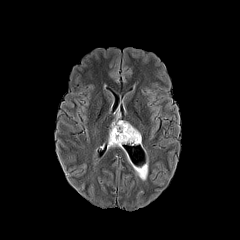
FLAIR magnetic resonance.
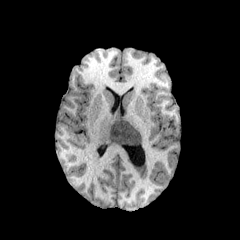
Same slice, T1-weighted MRI.
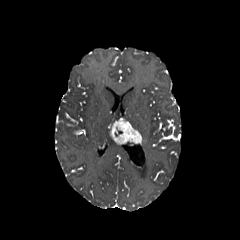
Post-contrast T1-weighted MRI of the same slice.
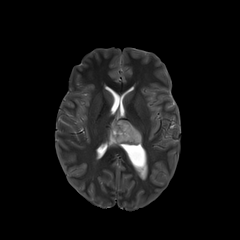
Same slice, T2-weighted MR.
Axial slice
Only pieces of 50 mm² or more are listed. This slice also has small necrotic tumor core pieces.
enhancing_tumor:
  - [x1=109, y1=120, x2=141, y2=144]
peritumoral_edema:
  - [x1=108, y1=134, x2=122, y2=148]